FLAIR magnetic resonance.
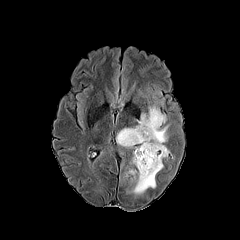
T1-weighted MRI.
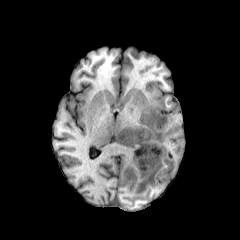
Post-contrast T1-weighted MR.
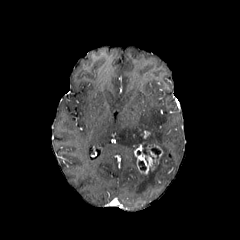
T2-weighted MR image.
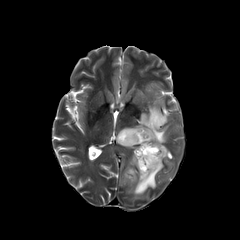
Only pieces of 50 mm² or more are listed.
enhancing tumor: [134, 144, 162, 174]
necrotic tumor core: [138, 160, 146, 171], [151, 147, 160, 158]
peritumoral edema: [116, 106, 169, 194]